FLAIR magnetic resonance.
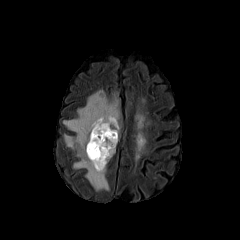
T1-weighted MR.
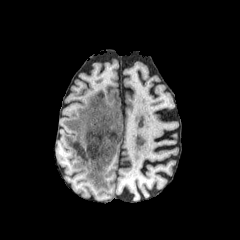
Post-contrast T1-weighted MR image.
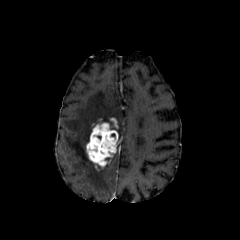
T2-weighted MRI.
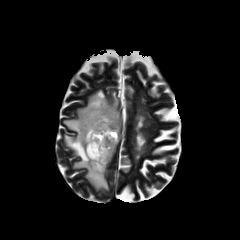
Head. Axial plane.
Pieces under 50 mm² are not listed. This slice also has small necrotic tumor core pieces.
Annotated regions:
- peritumoral edema: <box>63,89,120,190</box>
- enhancing tumor: <box>86,117,118,170</box>